FLAIR magnetic resonance.
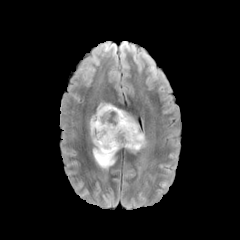
T1-weighted MR image.
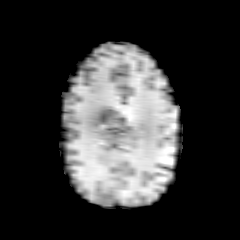
Post-contrast T1-weighted MR.
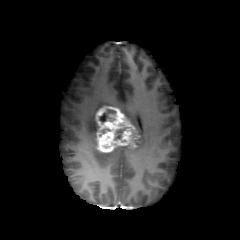
T2-weighted magnetic resonance.
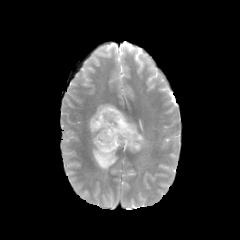
Axial view. Image size 240x240.
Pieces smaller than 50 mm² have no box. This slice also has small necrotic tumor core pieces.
<segmentation>
  <enhancing_tumor><box>95,106,139,152</box></enhancing_tumor>
  <peritumoral_edema><box>89,114,121,169</box>, <box>97,103,114,110</box>, <box>121,110,146,152</box></peritumoral_edema>
</segmentation>